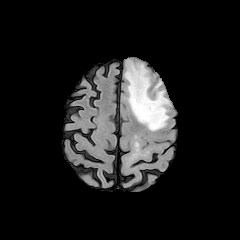
FLAIR MR.
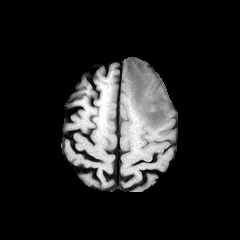
T1-weighted MR.
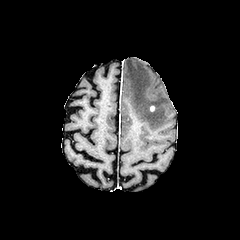
Post-contrast T1-weighted MR image.
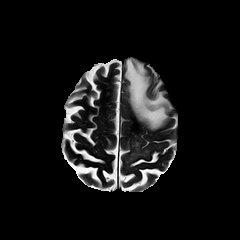
Same slice, T2-weighted magnetic resonance.
Brain. Axial plane. 240x240 px.
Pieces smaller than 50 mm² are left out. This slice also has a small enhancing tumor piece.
peritumoral_edema:
  - 124,59,170,130